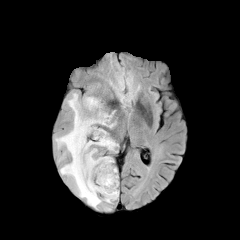
FLAIR magnetic resonance.
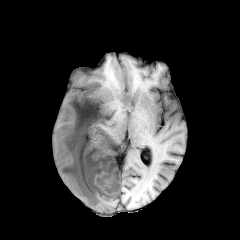
T1-weighted MR of the same slice.
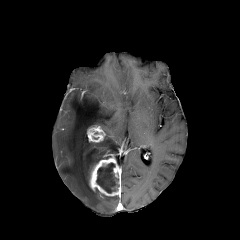
Post-contrast T1-weighted MRI.
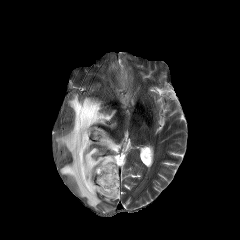
T2-weighted MR.
Head.
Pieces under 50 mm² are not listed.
necrotic tumor core — 96:163:119:193
peritumoral edema — 55:93:118:210
enhancing tumor — 87:125:105:142, 89:154:120:196